FLAIR magnetic resonance.
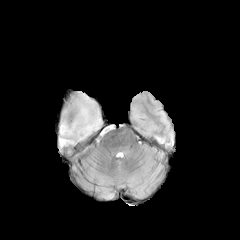
T1-weighted magnetic resonance.
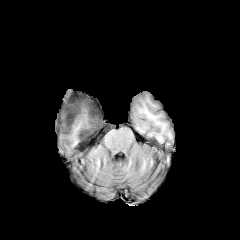
Post-contrast T1-weighted MR image.
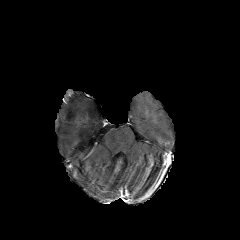
T2-weighted MR.
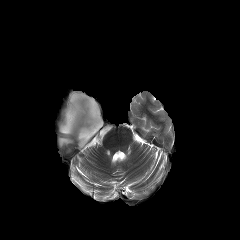
Axial plane
peritumoral edema — box(59, 92, 102, 154)